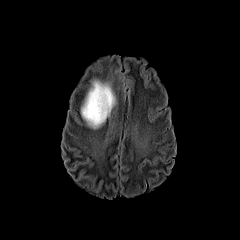
FLAIR MRI.
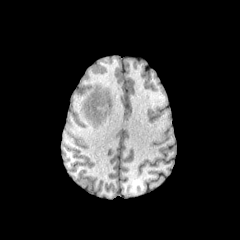
Same slice, T1-weighted MRI.
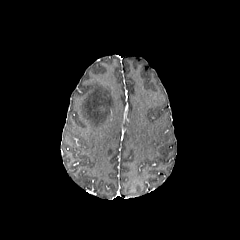
Post-contrast T1-weighted MR image of the same slice.
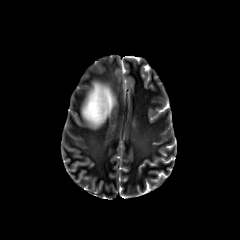
T2-weighted MRI.
240x240 px; Brain
The peritumoral edema is located at box=[79, 77, 116, 129].